Axial slice, Slice 78 of 155
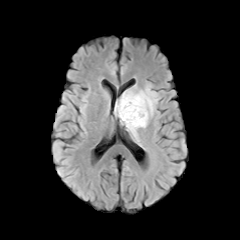
FLAIR MR image.
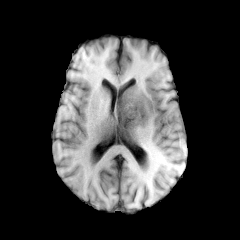
Same slice, T1-weighted magnetic resonance.
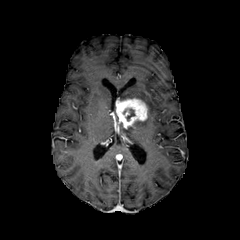
Post-contrast T1-weighted MRI.
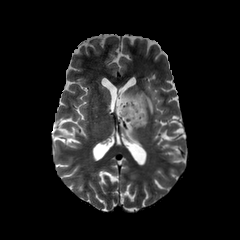
T2-weighted MRI.
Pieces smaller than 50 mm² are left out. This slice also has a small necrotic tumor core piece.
peritumoral edema: <box>120,85,157,138</box> | enhancing tumor: <box>115,98,147,128</box>